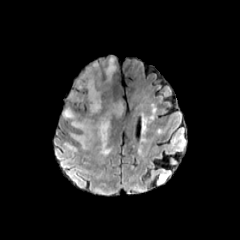
FLAIR MR.
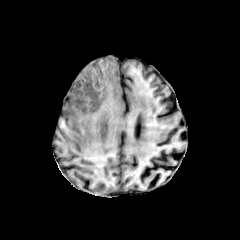
Same slice, T1-weighted magnetic resonance.
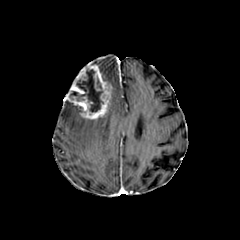
Post-contrast T1-weighted MRI.
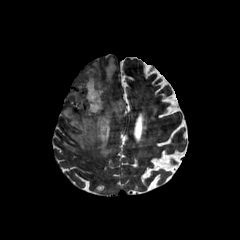
T2-weighted MRI.
Head
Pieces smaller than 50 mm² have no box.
{
  "necrotic_tumor_core": [
    "(70,68,103,112)"
  ],
  "enhancing_tumor": [
    "(66,64,111,119)"
  ],
  "peritumoral_edema": [
    "(63,107,110,154)",
    "(105,57,115,83)",
    "(64,142,77,151)",
    "(112,102,122,111)"
  ]
}